Slice index 99; Head
FLAIR MR image.
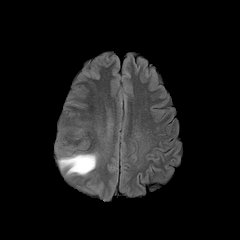
T1-weighted MR.
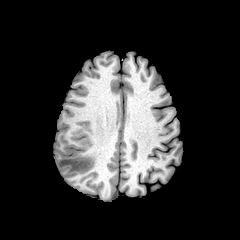
Post-contrast T1-weighted MR image.
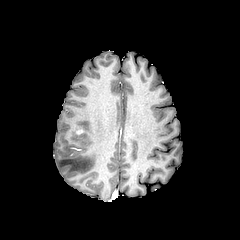
T2-weighted magnetic resonance.
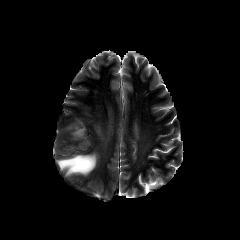
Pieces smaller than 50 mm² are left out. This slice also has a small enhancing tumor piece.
peritumoral edema — {"x1": 58, "y1": 154, "x2": 96, "y2": 174}